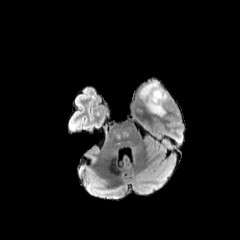
FLAIR MR image.
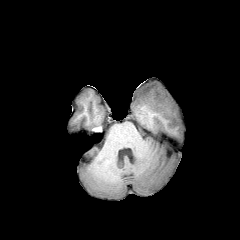
T1-weighted MR image of the same slice.
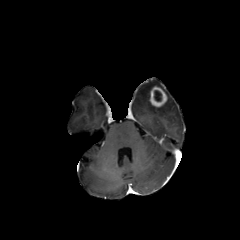
Post-contrast T1-weighted MR image.
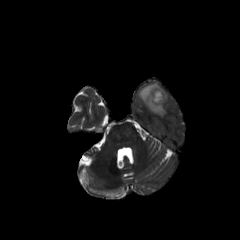
T2-weighted MRI.
Head
{"enhancing_tumor": ["box=[149, 86, 167, 107]"], "peritumoral_edema": ["box=[139, 80, 170, 116]"], "necrotic_tumor_core": ["box=[154, 90, 161, 101]"]}